Head; Image covers 240 mm x 240 mm; Slice 122 of 155
FLAIR magnetic resonance.
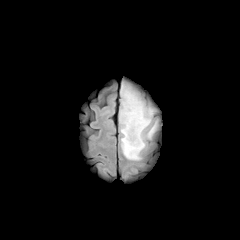
T1-weighted MRI.
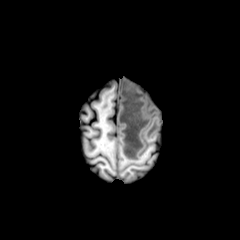
Post-contrast T1-weighted MRI.
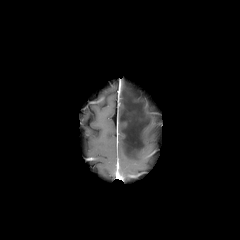
T2-weighted MRI.
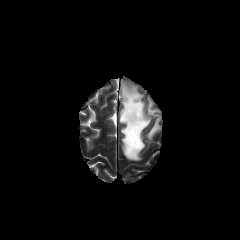
2 peritumoral edema regions are located at l=147, t=123, r=156, b=138; l=120, t=88, r=152, b=160.